Head. Image width 240 mm. Slice 93 of 155. Axial view.
FLAIR MR.
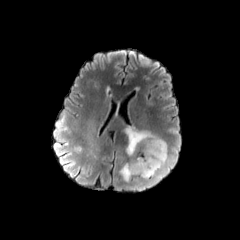
T1-weighted MRI.
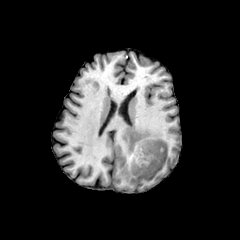
Post-contrast T1-weighted MR image.
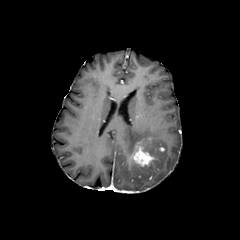
T2-weighted MR.
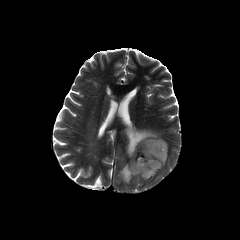
• peritumoral edema: <bbox>119, 126, 167, 182</bbox>
• enhancing tumor: <bbox>133, 149, 153, 166</bbox>